Image covers 240 mm x 240 mm
FLAIR magnetic resonance.
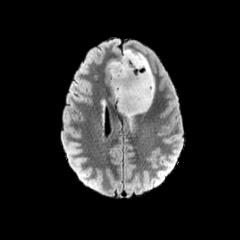
T1-weighted MR.
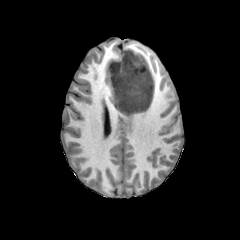
Post-contrast T1-weighted magnetic resonance.
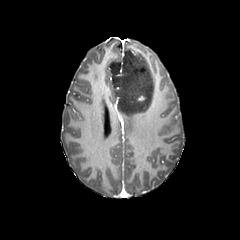
T2-weighted magnetic resonance.
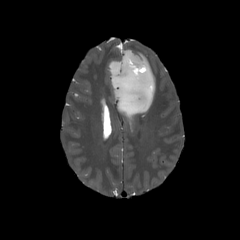
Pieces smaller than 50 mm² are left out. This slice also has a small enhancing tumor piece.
peritumoral edema: 109, 49, 154, 129